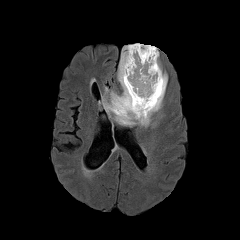
FLAIR magnetic resonance.
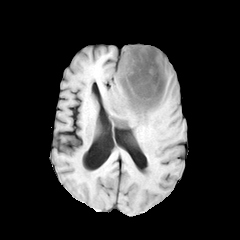
Same slice, T1-weighted MRI.
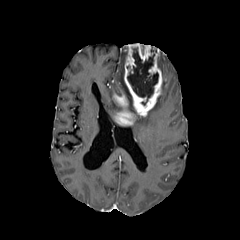
Post-contrast T1-weighted magnetic resonance of the same slice.
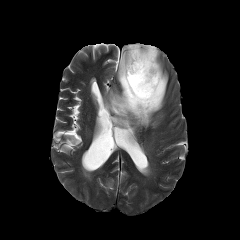
T2-weighted MR image.
Axial view
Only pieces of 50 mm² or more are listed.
{
  "enhancing_tumor": [
    "113:43:165:125"
  ],
  "peritumoral_edema": [
    "102:90:121:117",
    "131:57:167:127",
    "117:46:126:93"
  ],
  "necrotic_tumor_core": [
    "127:47:158:105"
  ]
}